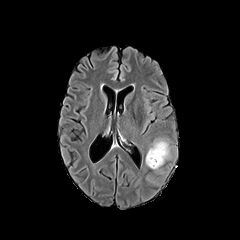
FLAIR MR.
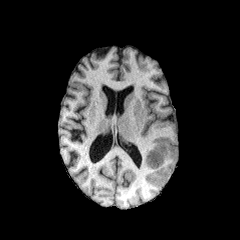
T1-weighted magnetic resonance.
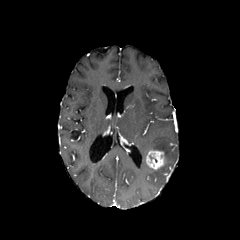
Same slice, post-contrast T1-weighted MR.
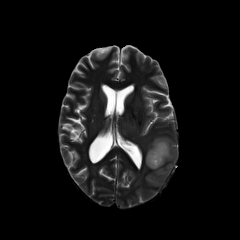
T2-weighted MR image.
Head, Axial plane
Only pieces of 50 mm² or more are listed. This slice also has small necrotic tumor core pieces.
peritumoral edema at 149:140:170:159
enhancing tumor at 146:150:164:169